FLAIR MR image.
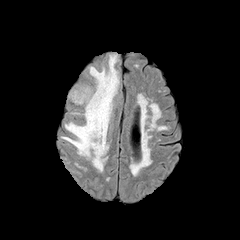
T1-weighted MRI.
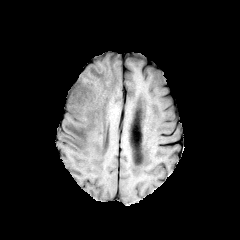
Post-contrast T1-weighted MR.
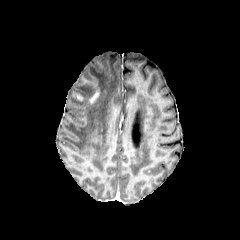
T2-weighted MR image.
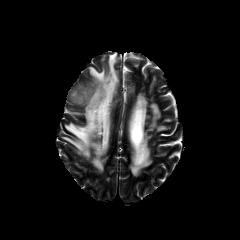
Axial view
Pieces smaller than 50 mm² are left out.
* enhancing tumor: (73, 93, 83, 101), (89, 91, 99, 103)
* peritumoral edema: (61, 54, 119, 171)